FLAIR MR image.
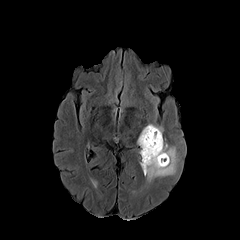
T1-weighted MR.
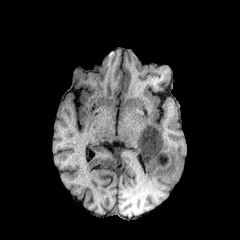
Post-contrast T1-weighted MR image.
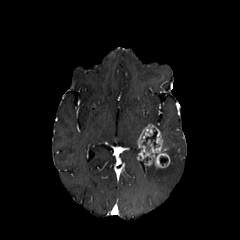
T2-weighted MR.
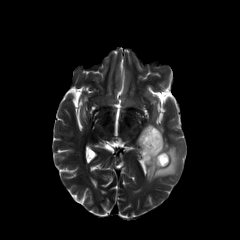
Axial plane
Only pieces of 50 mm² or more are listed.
The largest peritumoral edema region is located at 140,142,178,182. The enhancing tumor is located at 137,124,170,168. The 2 largest necrotic tumor core regions appear at 160,156,167,165; 143,130,157,147.